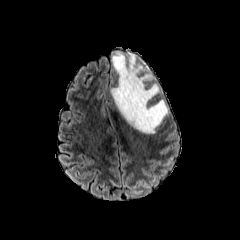
FLAIR MR.
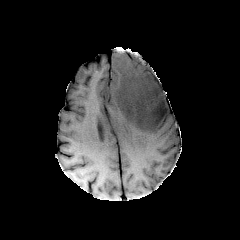
T1-weighted MR.
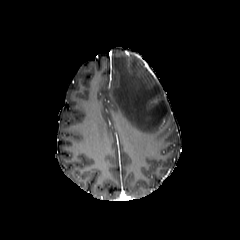
Post-contrast T1-weighted magnetic resonance.
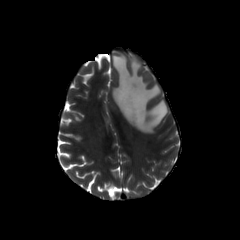
T2-weighted magnetic resonance.
Head; 240x240
Annotated regions:
- peritumoral edema: (111,51,169,133)